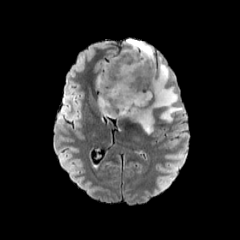
FLAIR MRI.
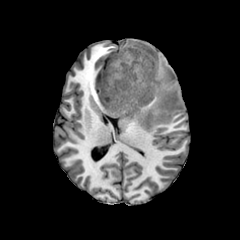
T1-weighted magnetic resonance.
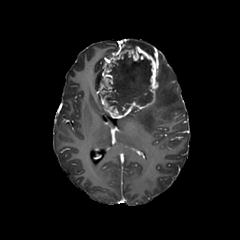
Post-contrast T1-weighted MRI.
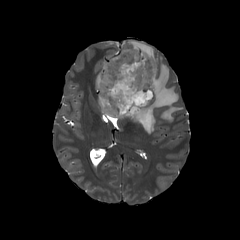
T2-weighted MRI.
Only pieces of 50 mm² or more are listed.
The largest necrotic tumor core region is located at left=102, top=53, right=152, bottom=114. 4 peritumoral edema regions appear at left=96, top=72, right=101, bottom=89; left=98, top=93, right=109, bottom=115; left=126, top=56, right=182, bottom=133; left=126, top=39, right=155, bottom=59. The largest enhancing tumor region lies within left=98, top=46, right=158, bottom=118.